Slice 51/155. Image width 240 mm. Image size 240x240.
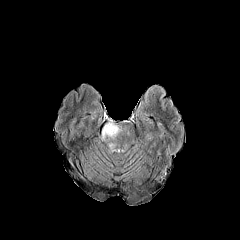
FLAIR MRI.
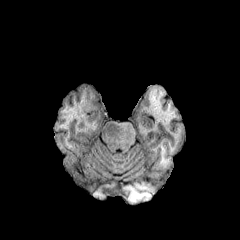
T1-weighted MR image of the same slice.
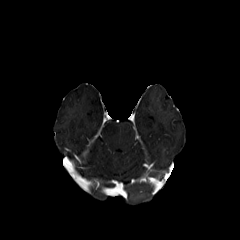
Same slice, post-contrast T1-weighted magnetic resonance.
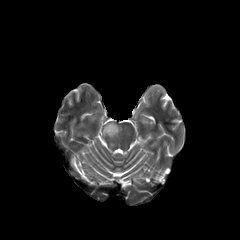
T2-weighted MR image.
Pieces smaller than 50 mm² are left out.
The largest peritumoral edema region appears at box(102, 122, 121, 138).